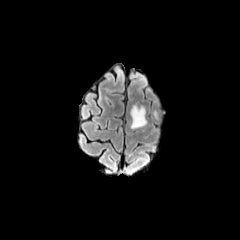
FLAIR MRI.
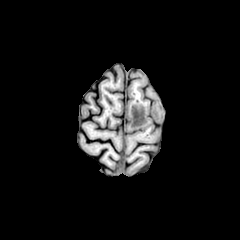
Same slice, T1-weighted magnetic resonance.
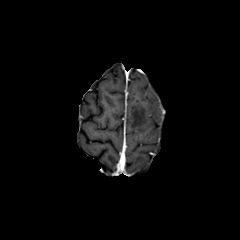
Same slice, post-contrast T1-weighted MR.
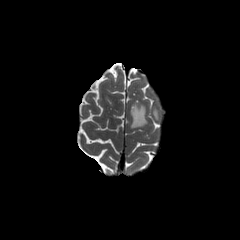
Same slice, T2-weighted MR image.
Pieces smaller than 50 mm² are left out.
peritumoral edema: (x1=130, y1=104, x2=146, y2=128)